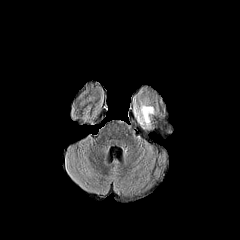
FLAIR MR.
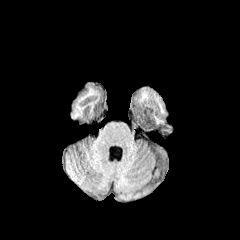
T1-weighted MR.
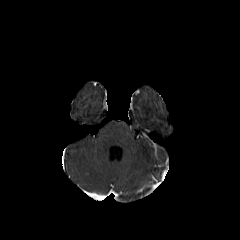
Same slice, post-contrast T1-weighted MRI.
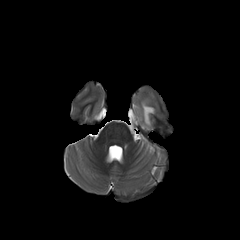
T2-weighted MR image of the same slice.
240x240 px, Axial view, Head
peritumoral edema = (134,100,154,128)